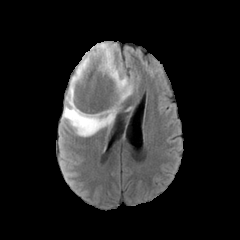
FLAIR MRI.
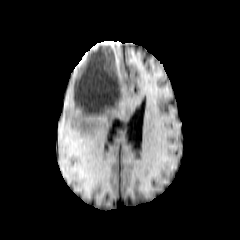
T1-weighted MR image.
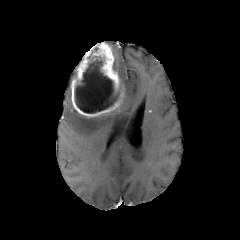
Post-contrast T1-weighted MR image of the same slice.
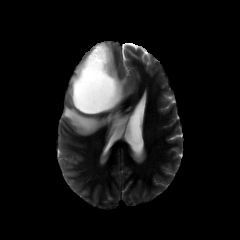
T2-weighted MRI.
Brain
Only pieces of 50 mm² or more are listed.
The largest necrotic tumor core region is located at bbox=[75, 60, 118, 112]. The 3 largest peritumoral edema regions are located at bbox=[63, 86, 116, 136]; bbox=[113, 61, 132, 101]; bbox=[106, 42, 118, 53]. The enhancing tumor is bounded by bbox=[70, 42, 124, 117].